FLAIR MRI.
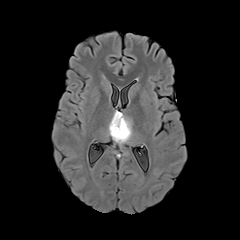
T1-weighted MRI.
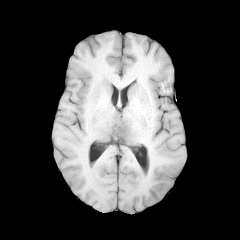
Post-contrast T1-weighted MR image.
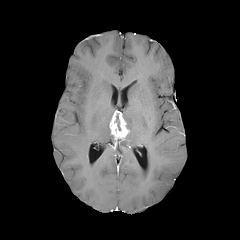
T2-weighted MRI.
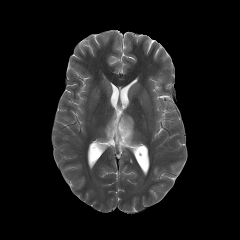
Brain; 240x240
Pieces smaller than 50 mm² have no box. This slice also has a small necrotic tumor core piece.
enhancing tumor: [109,110,129,143] | peritumoral edema: [106,125,113,139], [119,114,132,147]